FLAIR magnetic resonance.
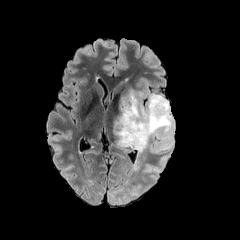
T1-weighted MRI.
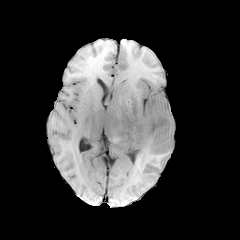
Post-contrast T1-weighted MR image.
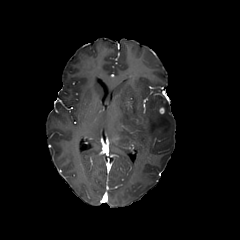
T2-weighted MRI.
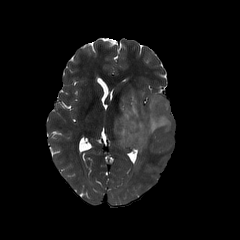
240x240
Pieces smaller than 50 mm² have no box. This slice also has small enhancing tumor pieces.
{"peritumoral_edema": ["box(114, 91, 173, 152)", "box(133, 159, 141, 170)"]}